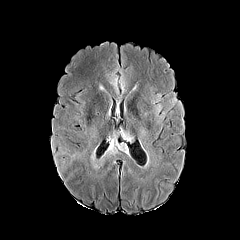
FLAIR MRI.
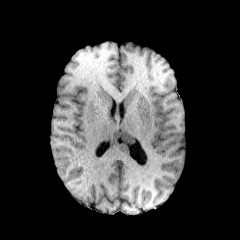
T1-weighted MR image.
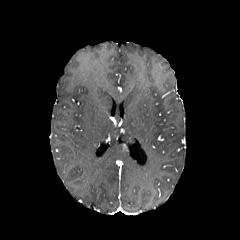
Same slice, post-contrast T1-weighted MRI.
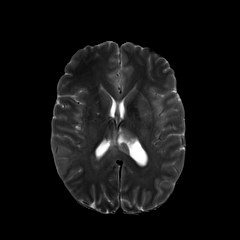
Same slice, T2-weighted MR image.
Brain
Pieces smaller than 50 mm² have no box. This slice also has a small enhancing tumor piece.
The 2 largest peritumoral edema regions appear at 107, 132, 123, 155; 120, 130, 133, 141.